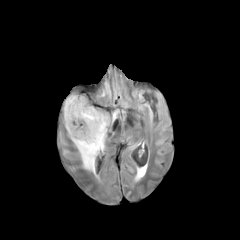
FLAIR MRI.
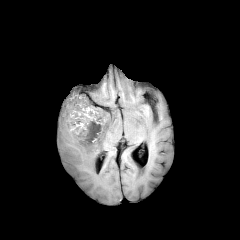
T1-weighted magnetic resonance.
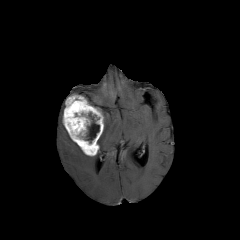
Same slice, post-contrast T1-weighted MR.
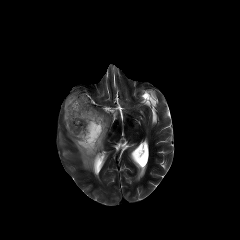
T2-weighted MR of the same slice.
240x240
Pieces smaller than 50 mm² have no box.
necrotic tumor core — 85,112,99,142
enhancing tumor — 63,94,103,156
peritumoral edema — 74,113,109,173